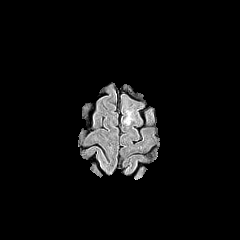
FLAIR MR.
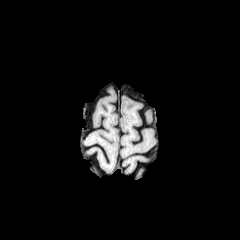
Same slice, T1-weighted MR.
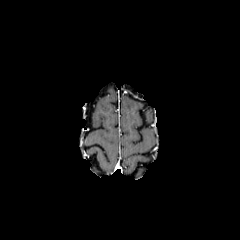
Post-contrast T1-weighted MR.
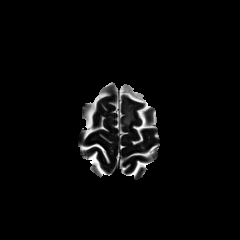
T2-weighted MRI.
Head
peritumoral edema — x1=123, y1=99, x2=134, y2=124